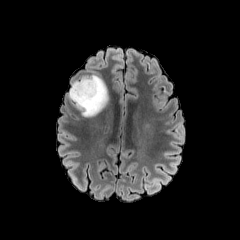
FLAIR MR.
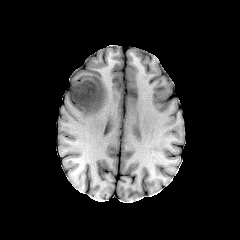
T1-weighted MRI.
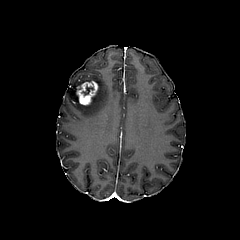
Post-contrast T1-weighted MRI.
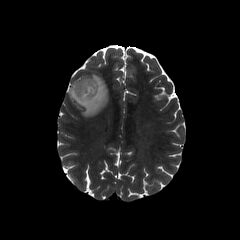
T2-weighted magnetic resonance of the same slice.
Axial view. 240x240.
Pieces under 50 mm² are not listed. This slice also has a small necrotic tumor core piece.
The peritumoral edema lies within (68, 74, 108, 117). The enhancing tumor appears at (76, 81, 98, 105).